FLAIR MRI.
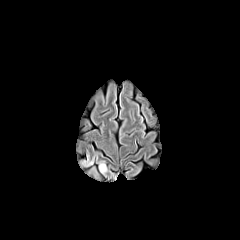
T1-weighted MR image.
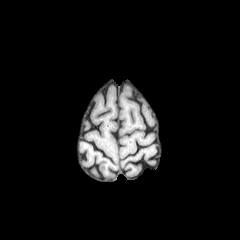
Post-contrast T1-weighted magnetic resonance.
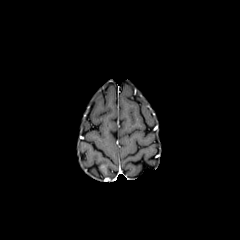
T2-weighted magnetic resonance.
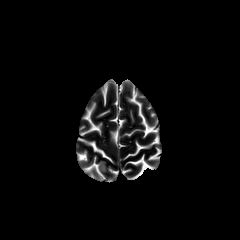
Axial slice
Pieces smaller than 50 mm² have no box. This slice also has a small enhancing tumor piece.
peritumoral edema: (x1=99, y1=163, x2=106, y2=173)